Brain; Axial slice
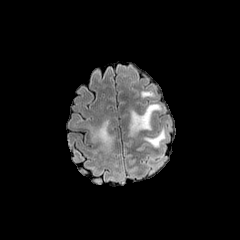
FLAIR MR.
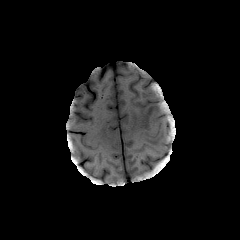
T1-weighted magnetic resonance.
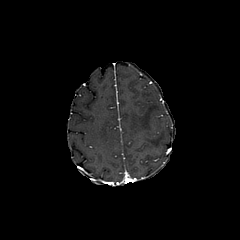
Post-contrast T1-weighted MR image of the same slice.
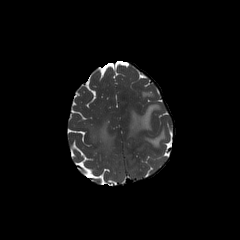
T2-weighted MRI of the same slice.
peritumoral edema = (92,120,113,148), (144,128,165,147), (141,91,153,97), (130,104,162,135)